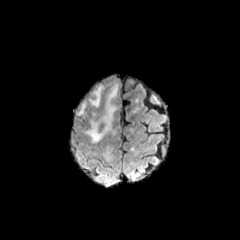
FLAIR MR image.
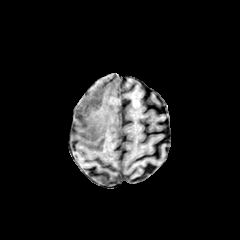
T1-weighted MRI.
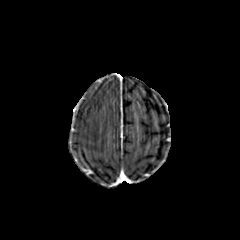
Post-contrast T1-weighted magnetic resonance.
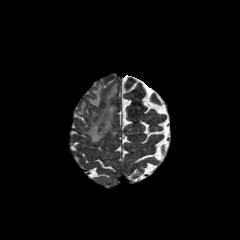
T2-weighted magnetic resonance.
Axial view | Brain | 240x240 px
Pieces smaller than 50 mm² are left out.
Findings:
* peritumoral edema: 78:102:86:114, 89:86:101:106, 85:84:117:142